FLAIR magnetic resonance.
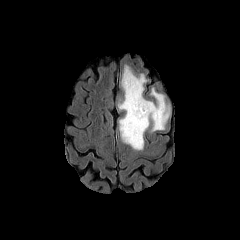
T1-weighted MR image.
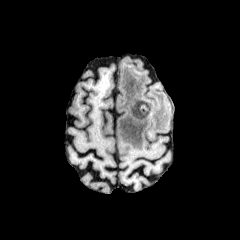
Post-contrast T1-weighted MR image.
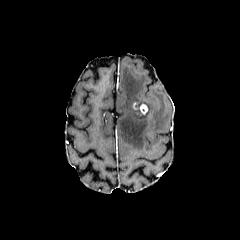
T2-weighted MR.
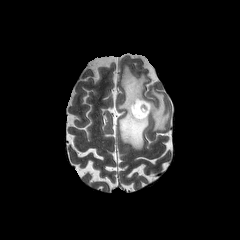
Brain; Axial plane
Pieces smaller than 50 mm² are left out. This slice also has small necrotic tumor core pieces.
peritumoral edema = (118, 65, 169, 150)
enhancing tumor = (132, 102, 147, 114)